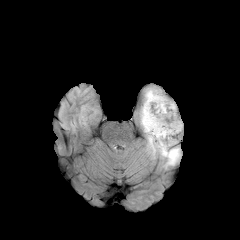
FLAIR magnetic resonance.
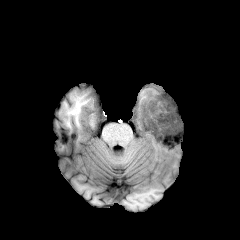
T1-weighted MRI.
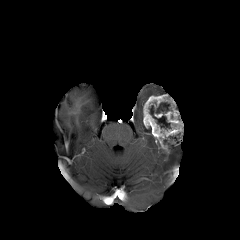
Post-contrast T1-weighted magnetic resonance.
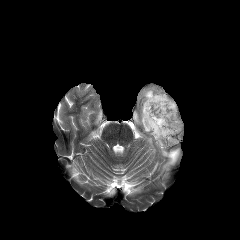
T2-weighted magnetic resonance.
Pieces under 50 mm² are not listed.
<segmentation>
  <necrotic_tumor_core>bbox=[156, 102, 169, 113]; bbox=[150, 105, 170, 127]</necrotic_tumor_core>
  <enhancing_tumor>bbox=[143, 94, 183, 153]</enhancing_tumor>
  <peritumoral_edema>bbox=[144, 88, 162, 102]; bbox=[141, 107, 180, 168]</peritumoral_edema>
</segmentation>